FLAIR MRI.
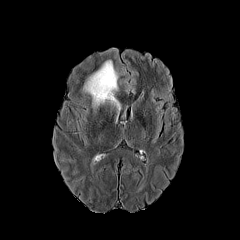
T1-weighted MRI.
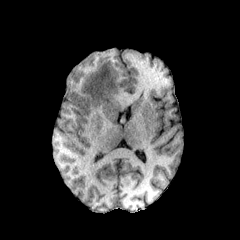
Post-contrast T1-weighted MR.
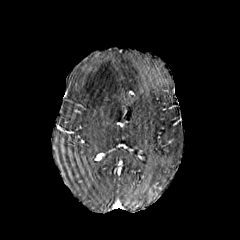
T2-weighted MRI.
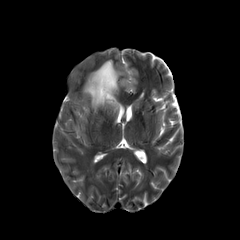
Brain
The peritumoral edema lies within 83 60 120 111.